Brain; 240x240 px; Axial slice; Slice 62/155
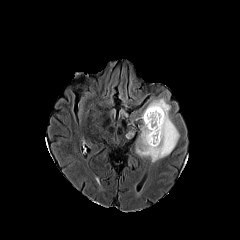
FLAIR MR.
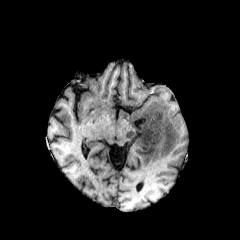
T1-weighted MRI.
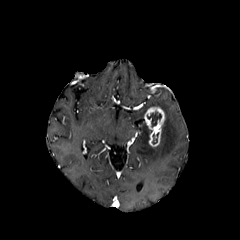
Post-contrast T1-weighted magnetic resonance.
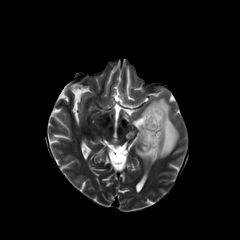
T2-weighted MR.
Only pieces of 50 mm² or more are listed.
necrotic tumor core = box=[147, 111, 161, 127]; box=[144, 123, 151, 143]
enhancing tumor = box=[143, 106, 164, 147]
peritumoral edema = box=[136, 97, 179, 162]